Image size 240x240
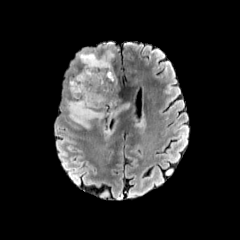
FLAIR MRI.
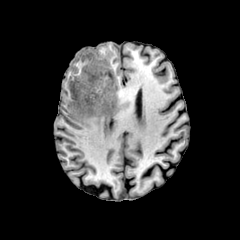
T1-weighted MR of the same slice.
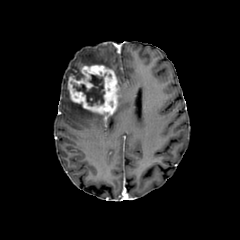
Post-contrast T1-weighted MRI.
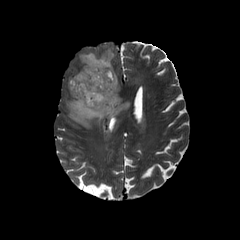
Same slice, T2-weighted MRI.
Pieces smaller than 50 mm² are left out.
Annotated regions:
* peritumoral edema: 107,99,129,123; 78,49,114,69; 66,100,104,129
* enhancing tumor: 68,65,118,118
* necrotic tumor core: 73,74,104,105